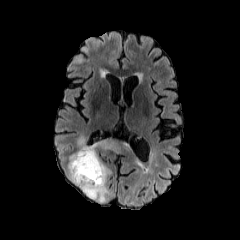
FLAIR MRI.
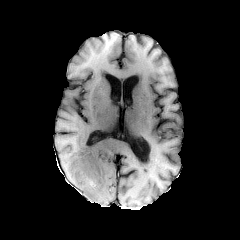
T1-weighted MR.
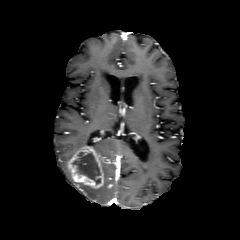
Post-contrast T1-weighted magnetic resonance of the same slice.
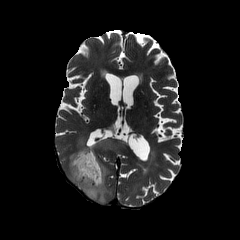
Same slice, T2-weighted magnetic resonance.
240x240 px | Brain
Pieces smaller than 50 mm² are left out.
<segmentation>
  <necrotic_tumor_core>{"x1": 72, "y1": 152, "x2": 100, "y2": 184}</necrotic_tumor_core>
  <peritumoral_edema>{"x1": 91, "y1": 139, "x2": 123, "y2": 154}, {"x1": 66, "y1": 162, "x2": 76, "y2": 184}, {"x1": 78, "y1": 136, "x2": 85, "y2": 149}, {"x1": 79, "y1": 161, "x2": 110, "y2": 202}</peritumoral_edema>
  <enhancing_tumor>{"x1": 69, "y1": 146, "x2": 103, "y2": 188}</enhancing_tumor>
</segmentation>